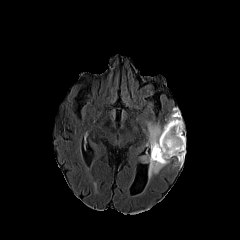
FLAIR MR.
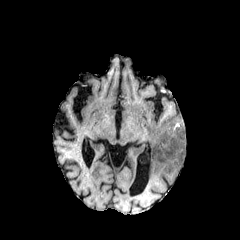
T1-weighted MR.
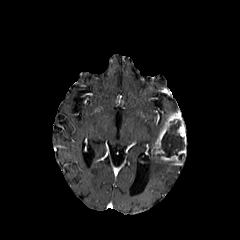
Post-contrast T1-weighted MR image.
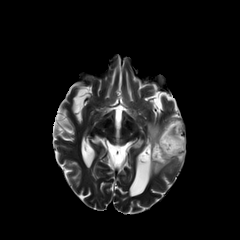
T2-weighted MR.
Image size 240x240, Brain
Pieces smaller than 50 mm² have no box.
necrotic_tumor_core:
  - [157,120,184,160]
peritumoral_edema:
  - [148,152,170,179]
  - [146,122,162,149]
enhancing_tumor:
  - [151,110,186,165]